Slice 103/155, Brain
FLAIR MR image.
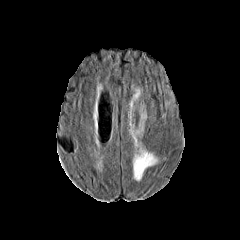
T1-weighted MR image.
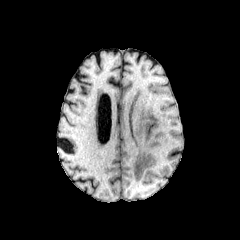
Post-contrast T1-weighted MR.
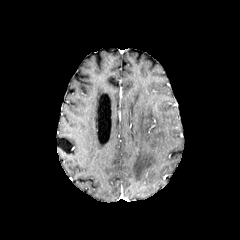
T2-weighted magnetic resonance.
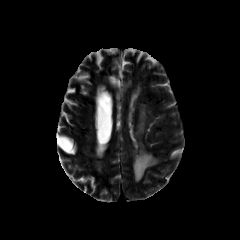
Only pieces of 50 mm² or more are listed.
The largest peritumoral edema region is at rect(133, 149, 157, 180).